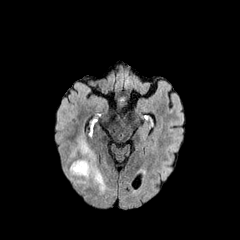
FLAIR MR image.
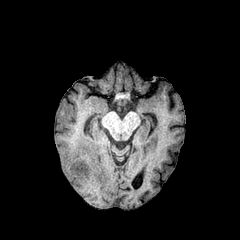
T1-weighted MR image of the same slice.
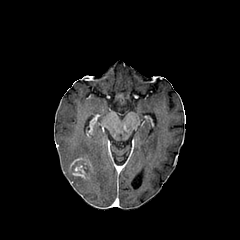
Post-contrast T1-weighted MR.
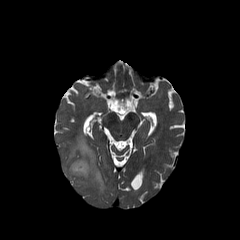
T2-weighted MR.
Brain.
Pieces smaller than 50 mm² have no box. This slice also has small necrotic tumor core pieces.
The enhancing tumor is at bbox(70, 158, 91, 178). The peritumoral edema is at bbox(64, 137, 106, 193).